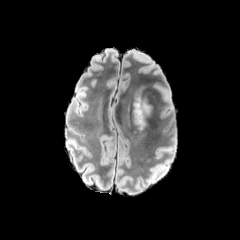
FLAIR magnetic resonance.
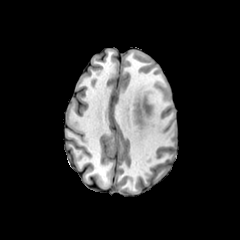
T1-weighted MR image.
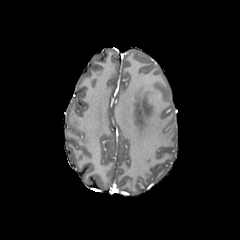
Same slice, post-contrast T1-weighted MRI.
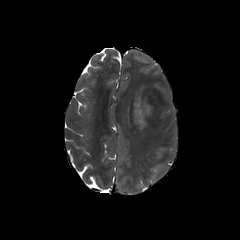
T2-weighted MRI of the same slice.
Axial plane; Brain
{"peritumoral_edema": ["[134, 96, 151, 129]"]}